Slice 81/155 | Image size 240x240
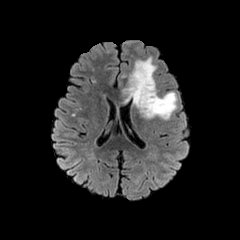
FLAIR MR.
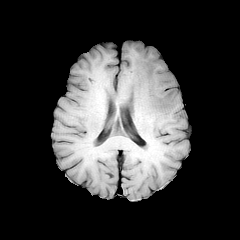
T1-weighted MR image of the same slice.
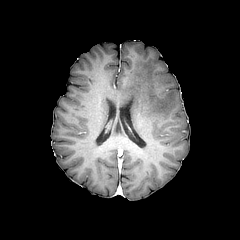
Post-contrast T1-weighted MRI.
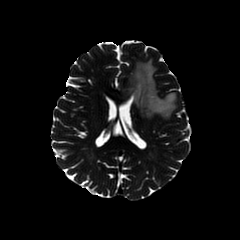
Same slice, T2-weighted MR image.
The peritumoral edema is at x1=123, y1=57, x2=176, y2=119.